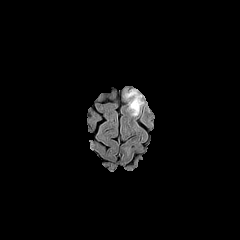
FLAIR MRI.
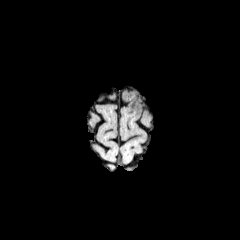
T1-weighted magnetic resonance of the same slice.
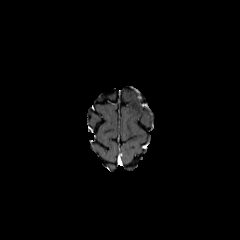
Post-contrast T1-weighted magnetic resonance of the same slice.
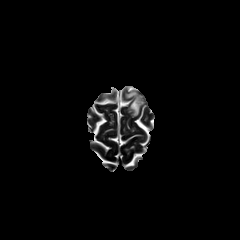
T2-weighted MR image.
Image size 240x240 | Axial plane
The peritumoral edema is at box=[125, 90, 143, 116].